FLAIR MRI.
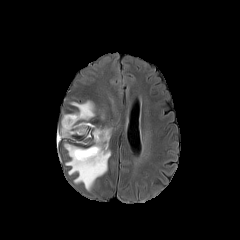
T1-weighted MRI.
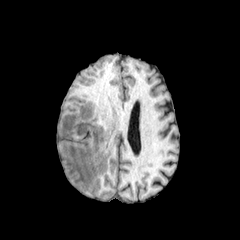
Post-contrast T1-weighted magnetic resonance.
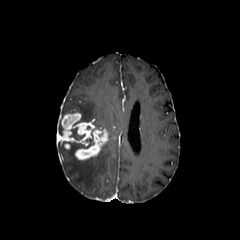
T2-weighted magnetic resonance.
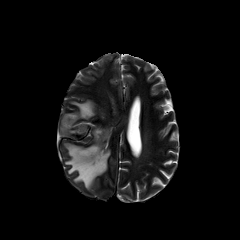
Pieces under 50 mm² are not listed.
The largest enhancing tumor region is bounded by <bbox>57, 112, 108, 160</bbox>. The 2 largest peritumoral edema regions appear at <bbox>70, 100, 95, 124</bbox>, <bbox>65, 141, 110, 190</bbox>.